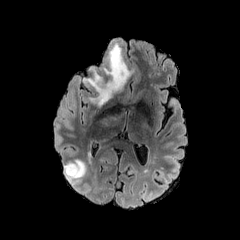
FLAIR MRI.
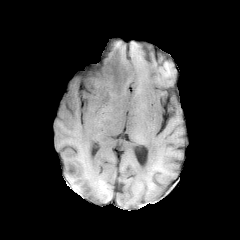
T1-weighted MR image.
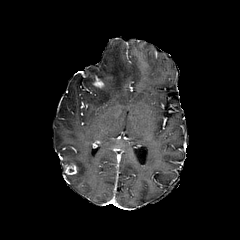
Post-contrast T1-weighted magnetic resonance.
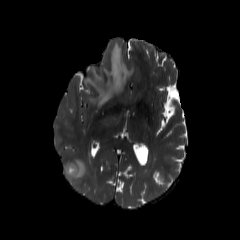
T2-weighted MRI.
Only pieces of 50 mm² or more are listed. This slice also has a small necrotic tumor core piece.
2 enhancing tumor regions appear at (left=66, top=166, right=76, bottom=174), (left=93, top=75, right=104, bottom=87). The 2 largest peritumoral edema regions are bounded by (left=84, top=42, right=132, bottom=106), (left=64, top=159, right=86, bottom=178).